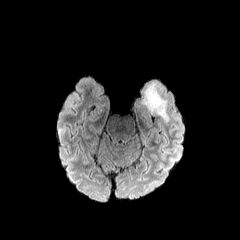
FLAIR MR.
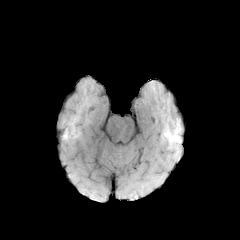
Same slice, T1-weighted MR.
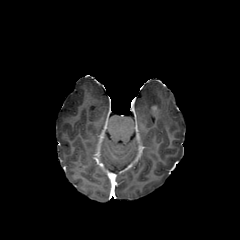
Post-contrast T1-weighted MR image of the same slice.
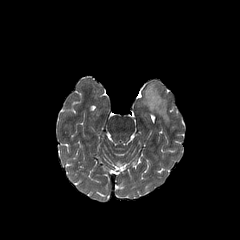
T2-weighted MR image.
240x240. Axial plane.
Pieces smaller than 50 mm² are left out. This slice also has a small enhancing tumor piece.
The peritumoral edema is located at 143,84,169,123.